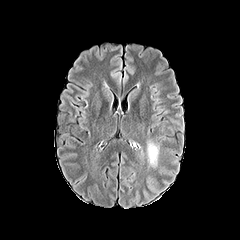
FLAIR MR image.
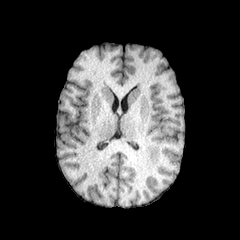
Same slice, T1-weighted magnetic resonance.
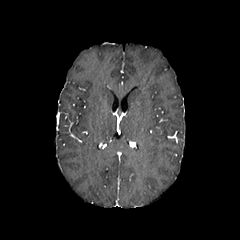
Post-contrast T1-weighted MR image.
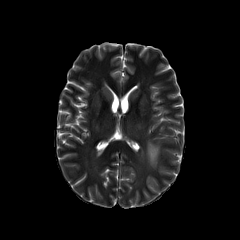
T2-weighted MR.
{"peritumoral_edema": ["[147,142,158,167]"]}